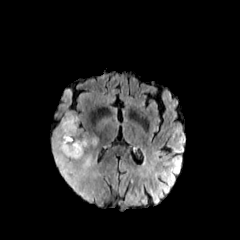
FLAIR MR.
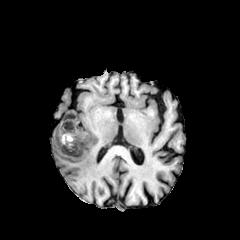
T1-weighted MR image.
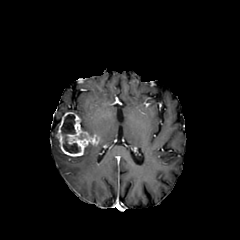
Post-contrast T1-weighted magnetic resonance.
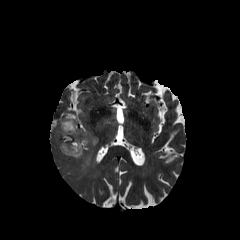
Same slice, T2-weighted MR.
Head
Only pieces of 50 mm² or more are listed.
The enhancing tumor is bounded by box(56, 111, 99, 156). The largest necrotic tumor core region is located at box(61, 114, 79, 153). The 2 largest peritumoral edema regions are bounded by box(50, 125, 98, 203); box(98, 118, 108, 129).